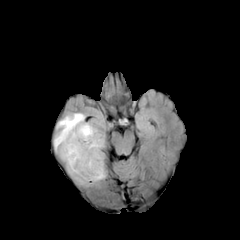
FLAIR MR image.
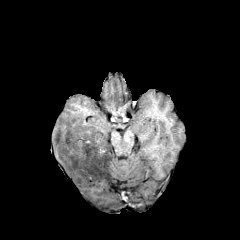
T1-weighted MR.
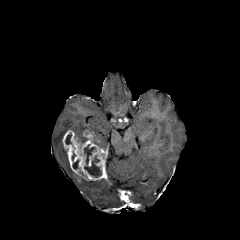
Post-contrast T1-weighted MRI.
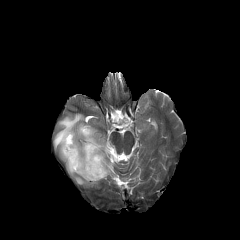
T2-weighted MR.
Axial slice
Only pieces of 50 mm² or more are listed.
peritumoral edema at [79,178,99,186], [53,113,105,183]
necrotic tumor core at [65,134,71,144], [84,145,101,176]
enhancing tumor at [61,129,106,181]